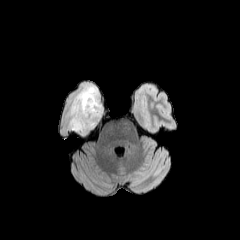
FLAIR MRI.
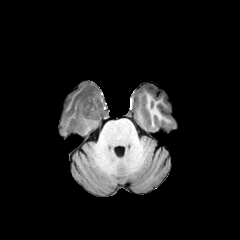
Same slice, T1-weighted MRI.
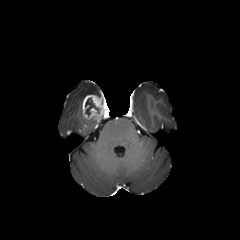
Post-contrast T1-weighted MR image.
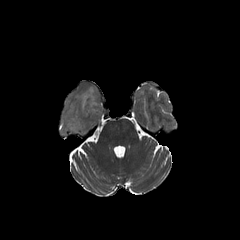
T2-weighted MR image.
Head
The enhancing tumor is bounded by box=[82, 95, 104, 121]. The necrotic tumor core appears at box=[85, 98, 99, 116]. The peritumoral edema is bounded by box=[67, 84, 99, 134].